Axial plane. Head. Image width 240 mm, 1.00 mm slice spacing.
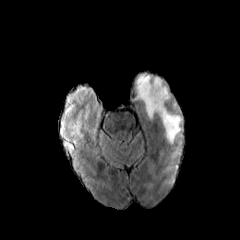
FLAIR MRI.
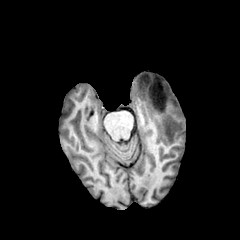
T1-weighted magnetic resonance of the same slice.
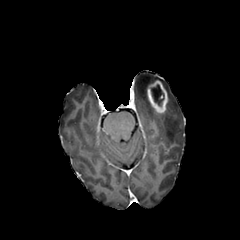
Post-contrast T1-weighted magnetic resonance of the same slice.
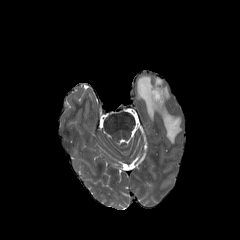
Same slice, T2-weighted magnetic resonance.
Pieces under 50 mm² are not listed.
The 2 largest peritumoral edema regions are bounded by {"x1": 136, "y1": 74, "x2": 162, "y2": 119}, {"x1": 159, "y1": 110, "x2": 182, "y2": 143}. The necrotic tumor core lies within {"x1": 151, "y1": 85, "x2": 162, "y2": 104}. The enhancing tumor is located at {"x1": 147, "y1": 80, "x2": 168, "y2": 114}.